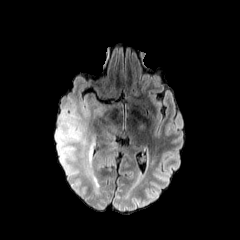
FLAIR MRI.
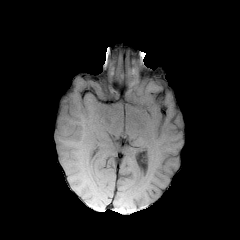
Same slice, T1-weighted magnetic resonance.
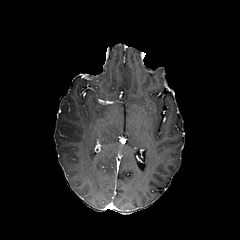
Same slice, post-contrast T1-weighted MR image.
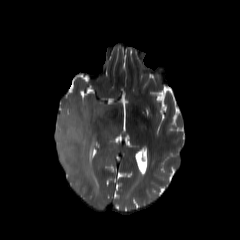
T2-weighted MR of the same slice.
240x240; Head
<segmentation>
  <peritumoral_edema>box=[106, 128, 118, 140]; box=[55, 94, 106, 193]</peritumoral_edema>
</segmentation>